Slice 71 of 155. Axial plane.
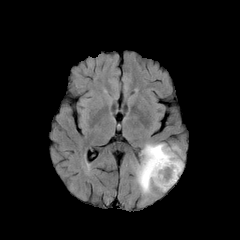
FLAIR MR image.
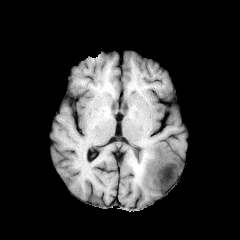
T1-weighted MR.
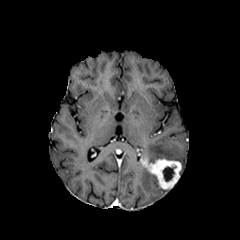
Post-contrast T1-weighted MR image.
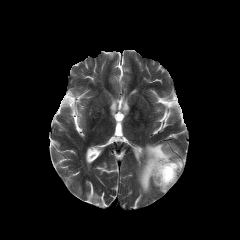
T2-weighted MRI of the same slice.
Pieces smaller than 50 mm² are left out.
Segmented structures:
• necrotic tumor core: [x1=163, y1=167, x2=175, y2=181]
• peritumoral edema: [x1=137, y1=143, x2=183, y2=194]
• enhancing tumor: [x1=143, y1=158, x2=181, y2=189]